FLAIR magnetic resonance.
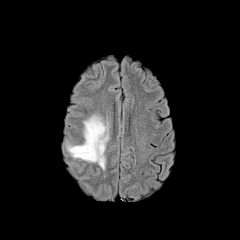
T1-weighted magnetic resonance.
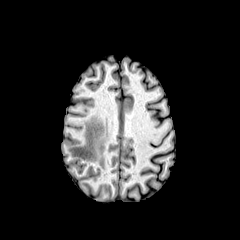
Post-contrast T1-weighted MR.
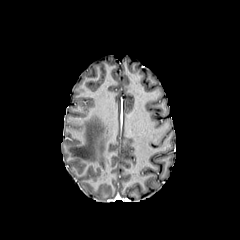
T2-weighted MR.
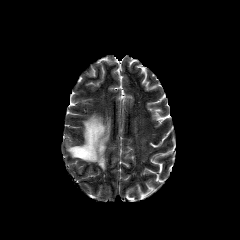
Findings:
- peritumoral edema: 67,115,108,169